Head, Axial plane, Image width 240 mm
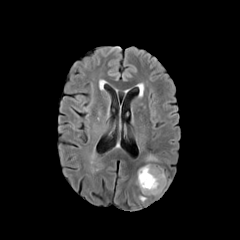
FLAIR MR.
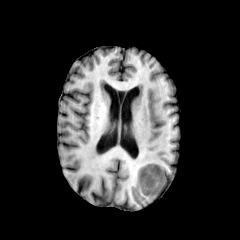
T1-weighted MR.
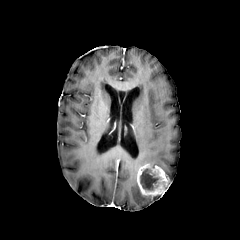
Post-contrast T1-weighted magnetic resonance of the same slice.
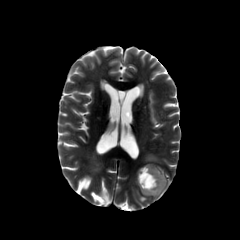
Same slice, T2-weighted MR.
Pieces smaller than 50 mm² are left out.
The enhancing tumor is located at bbox(137, 163, 170, 195). The necrotic tumor core is at bbox(140, 169, 158, 189). The largest peritumoral edema region is located at bbox(145, 154, 158, 162).